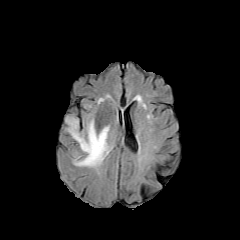
FLAIR magnetic resonance.
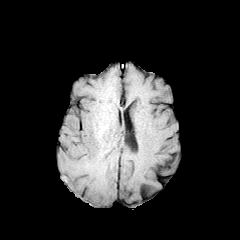
T1-weighted magnetic resonance.
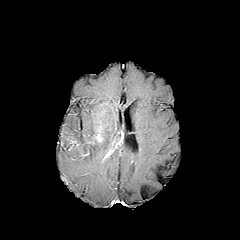
Same slice, post-contrast T1-weighted MRI.
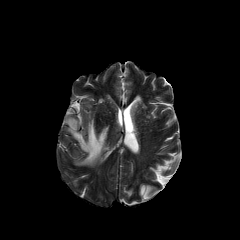
T2-weighted MR image.
Head.
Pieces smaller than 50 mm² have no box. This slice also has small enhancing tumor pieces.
The peritumoral edema is bounded by (left=65, top=117, right=112, bottom=167).